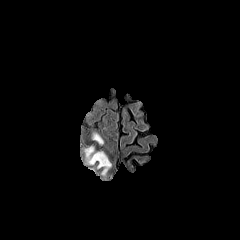
FLAIR MR.
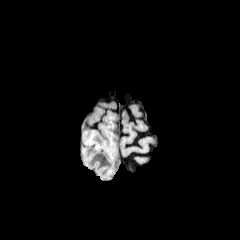
Same slice, T1-weighted MR.
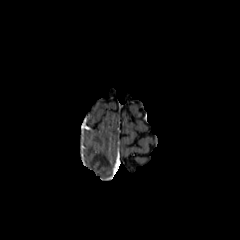
Post-contrast T1-weighted MRI.
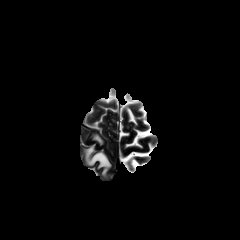
T2-weighted MR image of the same slice.
2 peritumoral edema regions appear at left=93, top=134, right=103, bottom=144; left=85, top=147, right=110, bottom=175.